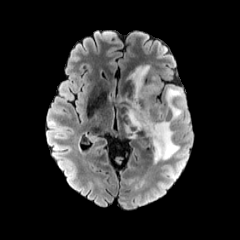
FLAIR MR.
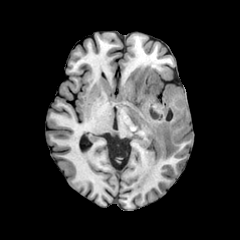
Same slice, T1-weighted magnetic resonance.
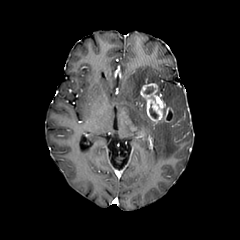
Post-contrast T1-weighted MR image.
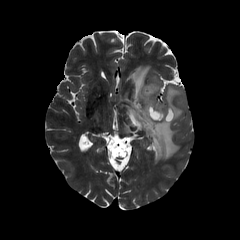
T2-weighted magnetic resonance.
Brain, Axial slice
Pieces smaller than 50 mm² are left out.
Segmented structures:
• peritumoral edema: <bbox>125, 65, 179, 160</bbox>, <bbox>165, 86, 185, 119</bbox>
• necrotic tumor core: <bbox>149, 104, 158, 118</bbox>, <bbox>144, 87, 153, 94</bbox>
• enhancing tumor: <bbox>140, 83, 173, 122</bbox>